FLAIR MRI.
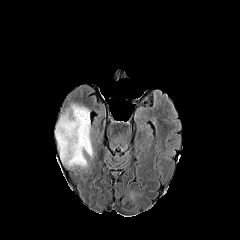
T1-weighted MR image.
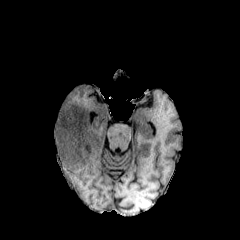
Post-contrast T1-weighted MR.
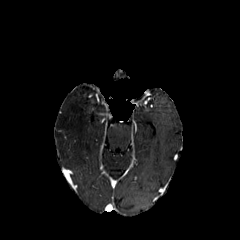
T2-weighted MR image.
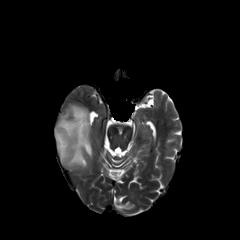
Brain
peritumoral_edema:
  - region(55, 103, 92, 167)